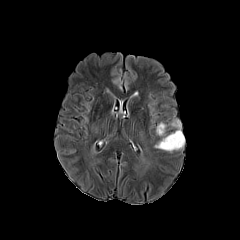
FLAIR MR image.
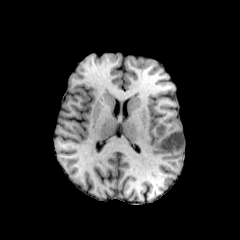
Same slice, T1-weighted magnetic resonance.
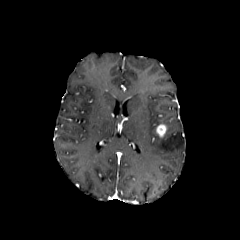
Post-contrast T1-weighted MR of the same slice.
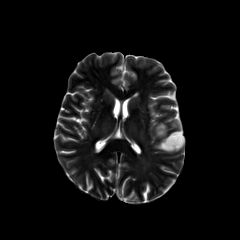
T2-weighted MR image.
Head
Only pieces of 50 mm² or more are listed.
The enhancing tumor is at [x1=156, y1=125, x2=165, y2=137]. The largest peritumoral edema region is bounded by [x1=155, y1=119, x2=184, y2=152].